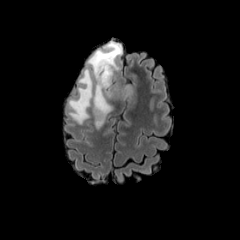
FLAIR magnetic resonance.
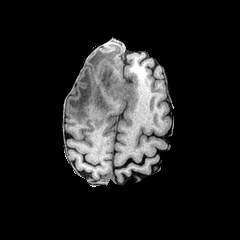
T1-weighted MR image.
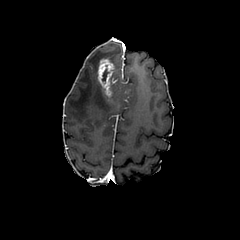
Post-contrast T1-weighted MR image.
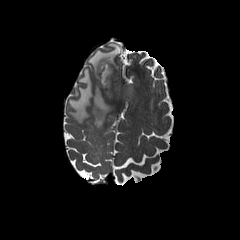
T2-weighted magnetic resonance.
240x240
enhancing tumor: box(97, 58, 115, 97) | peritumoral edema: box(123, 84, 133, 100); box(68, 41, 122, 128) | necrotic tumor core: box(102, 68, 109, 80)